FLAIR magnetic resonance.
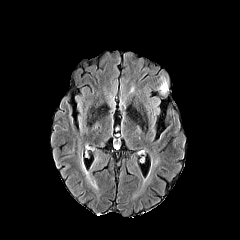
T1-weighted MR image.
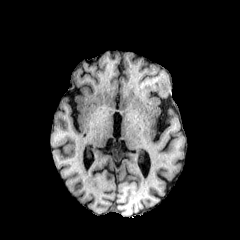
Post-contrast T1-weighted MR image.
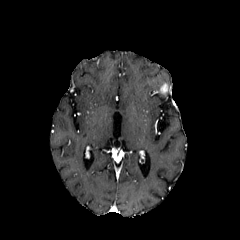
T2-weighted MRI.
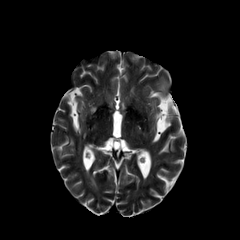
Head. Axial slice.
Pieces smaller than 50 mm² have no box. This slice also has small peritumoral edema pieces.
enhancing tumor = (159, 82, 168, 94)